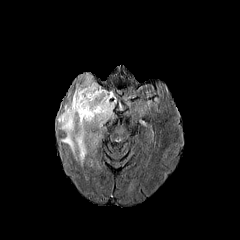
FLAIR MR.
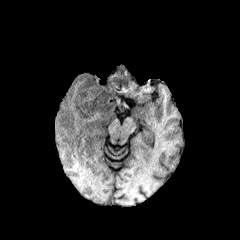
T1-weighted magnetic resonance.
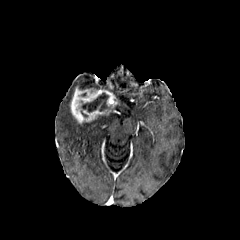
Post-contrast T1-weighted MR image.
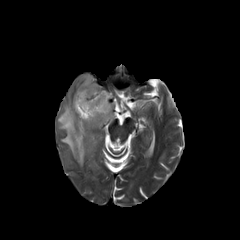
T2-weighted magnetic resonance of the same slice.
Head, Image size 240x240, Axial slice
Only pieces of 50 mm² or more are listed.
<segmentation>
  <peritumoral_edema>bbox(57, 93, 113, 165); bbox(76, 73, 100, 89)</peritumoral_edema>
  <enhancing_tumor>bbox(70, 86, 116, 123)</enhancing_tumor>
  <necrotic_tumor_core>bbox(81, 93, 108, 112)</necrotic_tumor_core>
</segmentation>